240x240 px | Head | Axial slice
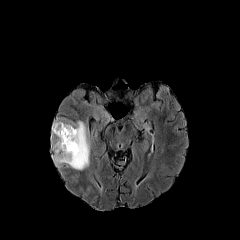
FLAIR MR.
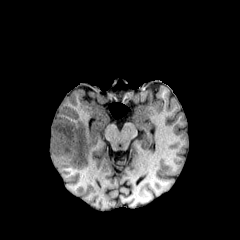
T1-weighted magnetic resonance.
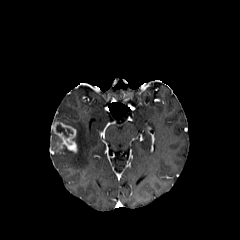
Post-contrast T1-weighted MR of the same slice.
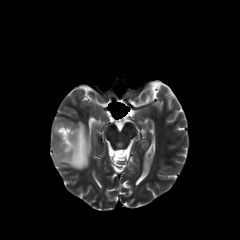
Same slice, T2-weighted magnetic resonance.
The enhancing tumor appears at (left=51, top=121, right=77, bottom=152). The peritumoral edema is bounded by (left=51, top=117, right=90, bottom=170). The necrotic tumor core lies within (left=56, top=124, right=72, bottom=137).